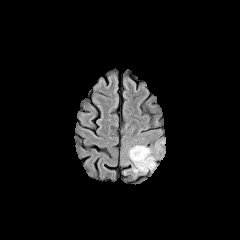
FLAIR MR image.
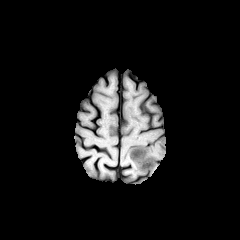
T1-weighted MR of the same slice.
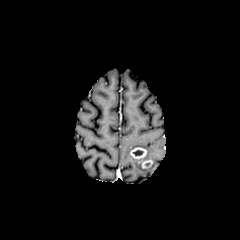
Same slice, post-contrast T1-weighted magnetic resonance.
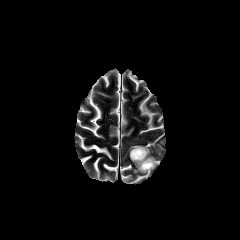
T2-weighted magnetic resonance.
Axial view
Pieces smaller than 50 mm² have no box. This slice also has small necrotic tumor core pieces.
enhancing tumor = l=130, t=147, r=153, b=168
peritumoral edema = l=128, t=145, r=155, b=173